FLAIR magnetic resonance.
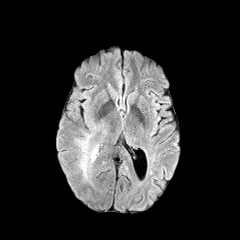
T1-weighted MR image.
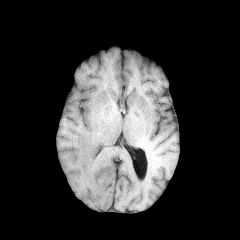
Post-contrast T1-weighted MR.
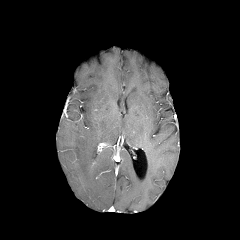
T2-weighted MR image.
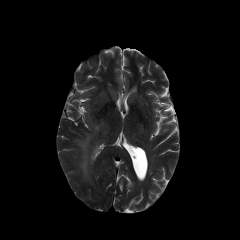
Axial view
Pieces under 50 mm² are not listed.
peritumoral edema: (x1=76, y1=124, x2=99, y2=180)